Axial slice | Slice 125 of 155
FLAIR MRI.
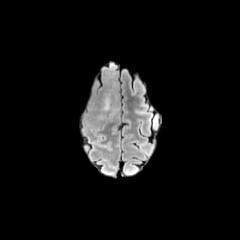
T1-weighted magnetic resonance.
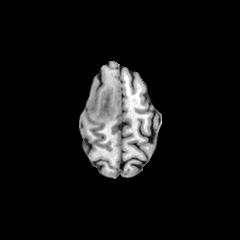
Post-contrast T1-weighted MR.
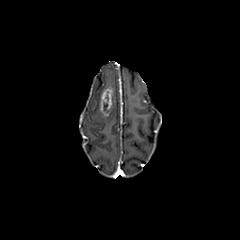
T2-weighted MRI.
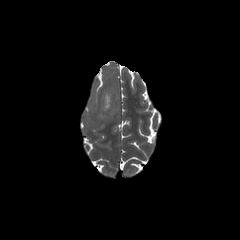
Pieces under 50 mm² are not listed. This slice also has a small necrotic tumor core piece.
enhancing tumor: bbox=[100, 87, 114, 116]